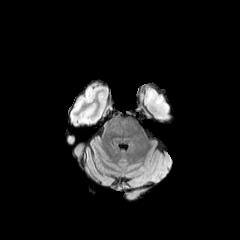
FLAIR magnetic resonance.
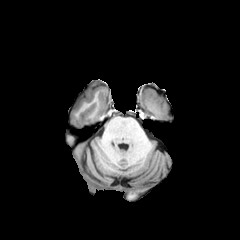
T1-weighted magnetic resonance.
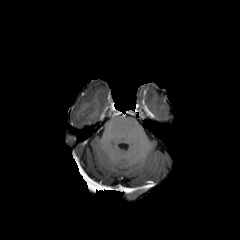
Post-contrast T1-weighted MRI of the same slice.
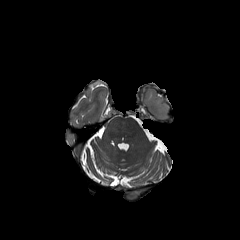
T2-weighted MR image of the same slice.
Axial slice
peritumoral edema: 143:89:169:120